Image width 240 mm, 1.00 mm slice spacing | Axial plane | Slice 57 of 155 | Image size 240x240
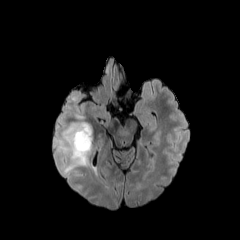
FLAIR magnetic resonance.
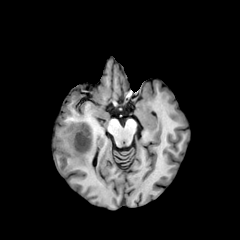
Same slice, T1-weighted MR image.
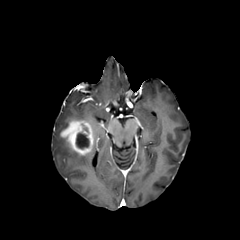
Post-contrast T1-weighted MR.
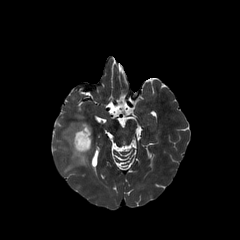
Same slice, T2-weighted MR image.
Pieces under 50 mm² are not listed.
enhancing_tumor:
  - box=[60, 120, 94, 155]
necrotic_tumor_core:
  - box=[76, 133, 89, 148]
peritumoral_edema:
  - box=[56, 135, 88, 173]